Image covers 240 mm x 240 mm, Image size 240x240, Axial plane, Slice 86 of 155
FLAIR magnetic resonance.
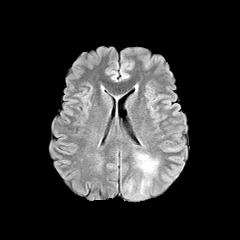
T1-weighted MR.
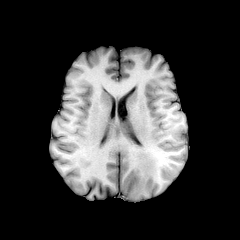
Post-contrast T1-weighted magnetic resonance.
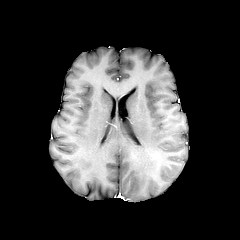
T2-weighted MRI.
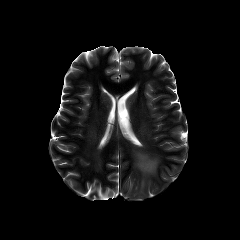
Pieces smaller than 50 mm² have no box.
The 2 largest peritumoral edema regions appear at l=141, t=179, r=149, b=192; l=136, t=153, r=158, b=177.